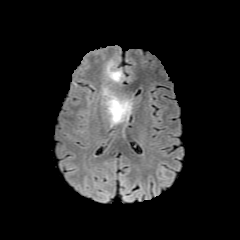
FLAIR MR.
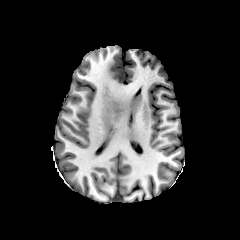
T1-weighted MR image of the same slice.
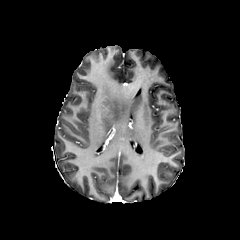
Post-contrast T1-weighted magnetic resonance.
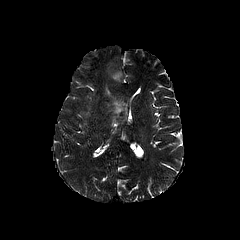
Same slice, T2-weighted MR.
Brain | Image size 240x240
<segmentation>
  <peritumoral_edema>region(103, 87, 131, 125); region(106, 61, 123, 82)</peritumoral_edema>
</segmentation>